Axial slice. Slice index 83. Head.
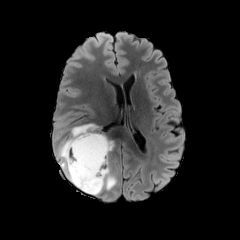
FLAIR MR image.
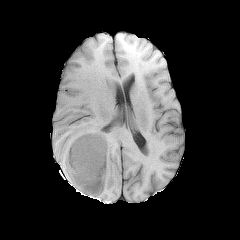
T1-weighted MR image.
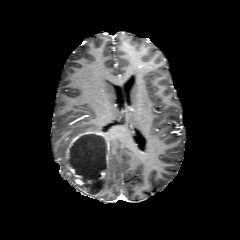
Post-contrast T1-weighted magnetic resonance.
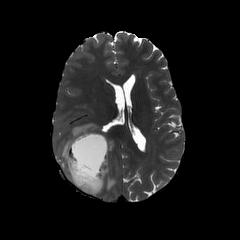
T2-weighted MRI.
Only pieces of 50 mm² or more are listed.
necrotic tumor core = <bbox>69, 133, 107, 194</bbox>
enhancing tumor = <bbox>66, 132, 109, 186</bbox>, <bbox>83, 187, 95, 196</bbox>
peritumoral edema = <bbox>56, 123, 97, 183</bbox>, <bbox>96, 160, 116, 195</bbox>